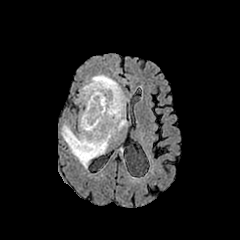
FLAIR MR.
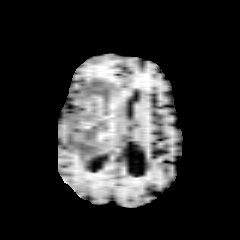
T1-weighted magnetic resonance.
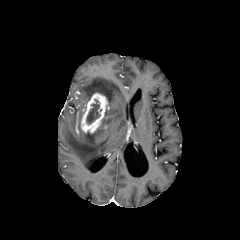
Post-contrast T1-weighted MR image of the same slice.
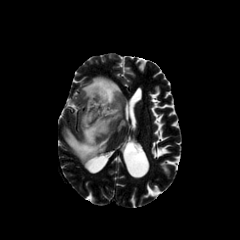
Same slice, T2-weighted MRI.
Head
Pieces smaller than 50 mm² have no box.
The largest peritumoral edema region is at x1=62, y1=75, x2=126, y2=168. The largest enhancing tumor region appears at x1=80, y1=93, x2=109, y2=133. The largest necrotic tumor core region is at x1=87, y1=99, x2=100, y2=124.